FLAIR MR.
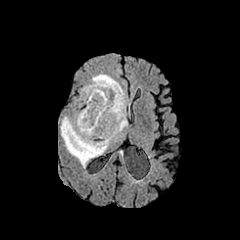
T1-weighted MR image.
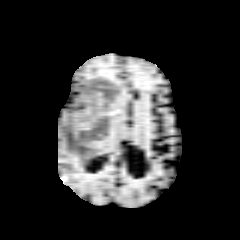
Post-contrast T1-weighted MR.
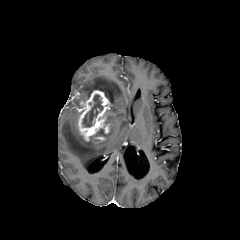
T2-weighted MR image.
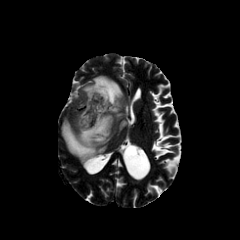
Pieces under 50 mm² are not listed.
<segmentation>
  <peritumoral_edema>bbox=[61, 74, 129, 167]</peritumoral_edema>
  <enhancing_tumor>bbox=[78, 90, 111, 141]</enhancing_tumor>
  <necrotic_tumor_core>bbox=[82, 95, 103, 127]</necrotic_tumor_core>
</segmentation>